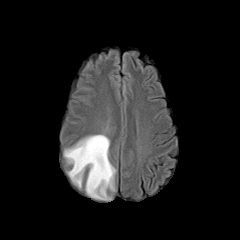
FLAIR MR image.
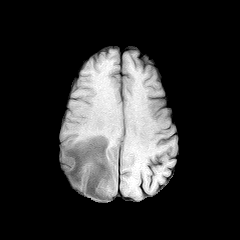
T1-weighted magnetic resonance of the same slice.
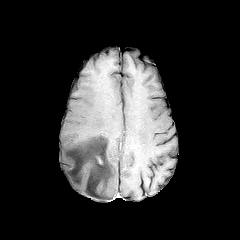
Post-contrast T1-weighted MRI of the same slice.
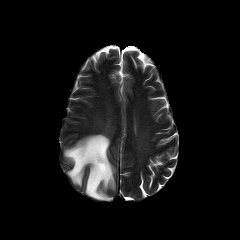
T2-weighted MR.
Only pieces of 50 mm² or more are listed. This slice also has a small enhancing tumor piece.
peritumoral_edema:
  - <box>64,134,115,200</box>